FLAIR MR.
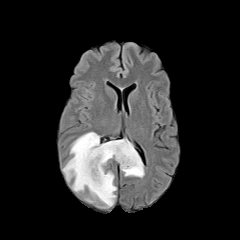
T1-weighted MR image.
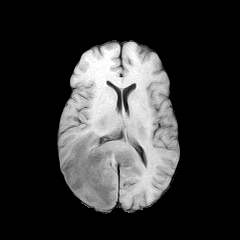
Post-contrast T1-weighted MRI.
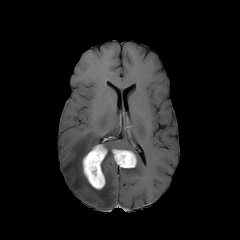
T2-weighted MR.
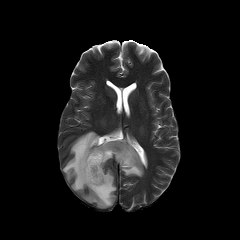
Axial view | Head | 240x240 px
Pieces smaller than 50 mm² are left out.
{
  "enhancing_tumor": [
    "[112, 149, 137, 168]",
    "[82, 144, 107, 189]"
  ],
  "peritumoral_edema": [
    "[62, 131, 144, 208]"
  ],
  "necrotic_tumor_core": [
    "[89, 152, 99, 179]"
  ]
}